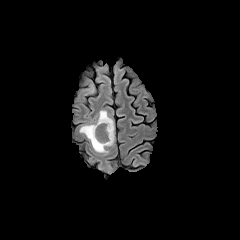
FLAIR MRI.
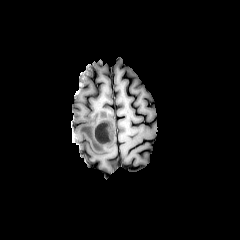
T1-weighted magnetic resonance.
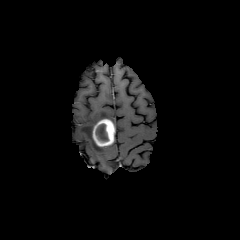
Same slice, post-contrast T1-weighted MR.
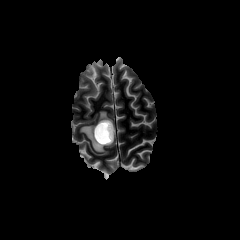
T2-weighted magnetic resonance.
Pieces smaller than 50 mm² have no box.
• enhancing tumor: x1=92, y1=119, x2=114, y2=146
• necrotic tumor core: x1=96, y1=124, x2=107, y2=141
• peritumoral edema: x1=82, y1=78, x2=95, y2=94; x1=79, y1=110, x2=114, y2=154